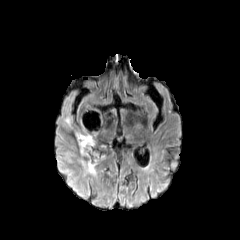
FLAIR magnetic resonance.
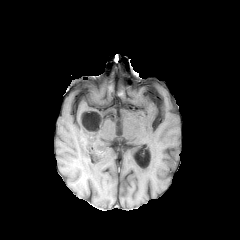
Same slice, T1-weighted MR image.
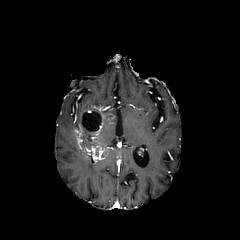
Post-contrast T1-weighted magnetic resonance.
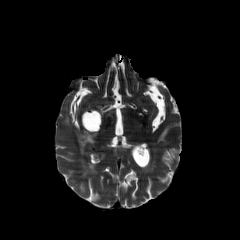
T2-weighted MR.
Axial view
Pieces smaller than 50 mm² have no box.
enhancing tumor: bounding box region(74, 108, 114, 157)
peritumoral edema: bounding box region(79, 158, 99, 177)
necrotic tumor core: bounding box region(82, 111, 101, 131); region(80, 134, 91, 148)